Image width 240 mm | Brain | Slice index 83
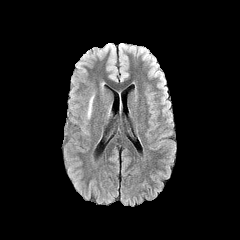
FLAIR MR.
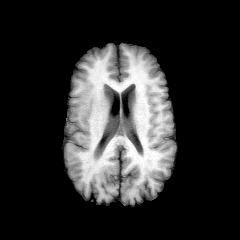
T1-weighted MR.
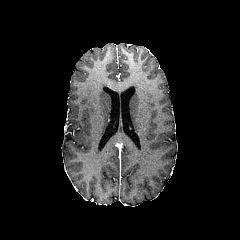
Post-contrast T1-weighted MRI.
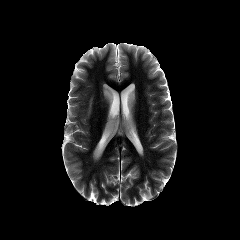
T2-weighted magnetic resonance of the same slice.
- peritumoral edema: 87 95 94 118